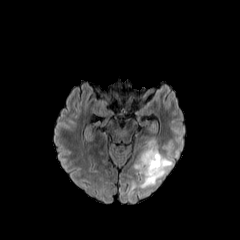
FLAIR MR image.
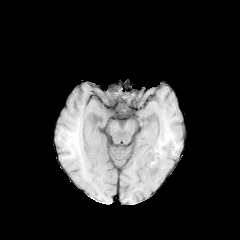
T1-weighted MR image.
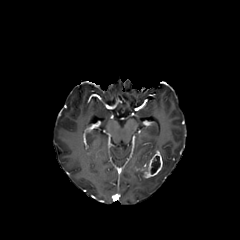
Post-contrast T1-weighted MR.
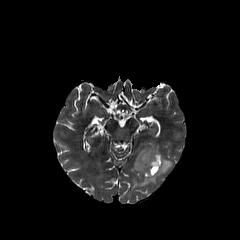
T2-weighted MR image.
Head. Axial view.
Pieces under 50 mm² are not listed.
enhancing tumor at region(135, 150, 163, 178)
peritumoral edema at region(130, 140, 172, 189)
necrotic tumor core at region(151, 156, 160, 174)